FLAIR MR image.
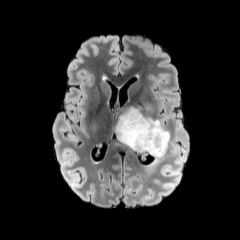
T1-weighted magnetic resonance.
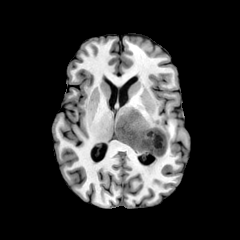
Post-contrast T1-weighted magnetic resonance.
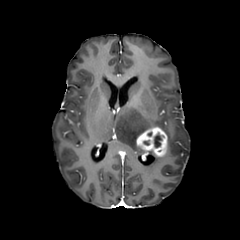
T2-weighted MR image.
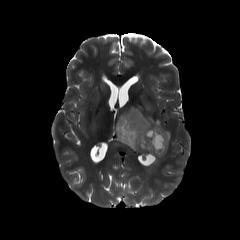
240x240, Head
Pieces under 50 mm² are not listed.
Findings:
• enhancing tumor: bbox=[136, 127, 167, 156]
• peritumoral edema: bbox=[149, 156, 163, 164]; bbox=[115, 107, 170, 152]
• necrotic tumor core: bbox=[154, 134, 161, 147]